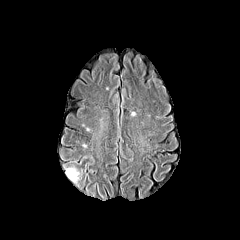
FLAIR MRI.
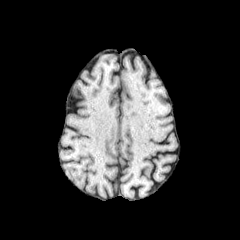
T1-weighted MRI of the same slice.
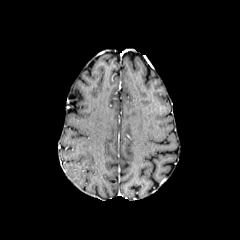
Same slice, post-contrast T1-weighted MRI.
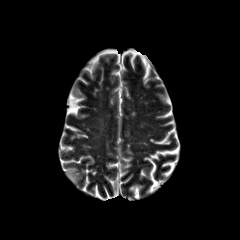
T2-weighted MRI of the same slice.
Brain; Axial slice
{"peritumoral_edema": ["x1=65 y1=166 x2=81 y2=183"]}